FLAIR magnetic resonance.
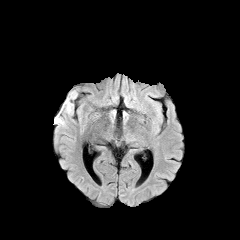
T1-weighted MR image.
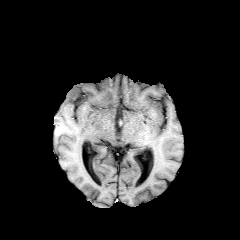
Post-contrast T1-weighted MR.
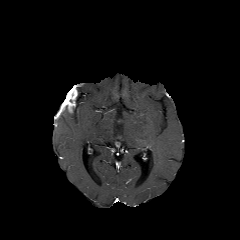
T2-weighted MR.
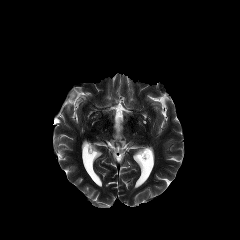
240x240.
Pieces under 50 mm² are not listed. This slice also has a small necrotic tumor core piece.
peritumoral edema — l=55, t=116, r=65, b=126
enhancing tumor — l=54, t=88, r=77, b=123